240x240.
FLAIR MRI.
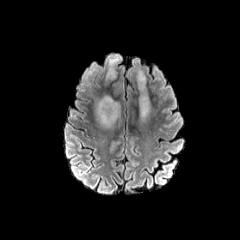
T1-weighted magnetic resonance.
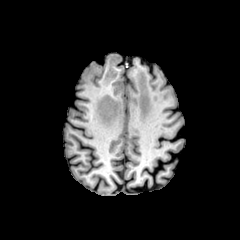
Post-contrast T1-weighted magnetic resonance.
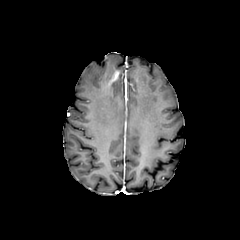
T2-weighted MR.
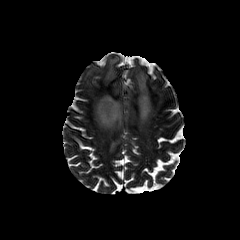
The enhancing tumor is bounded by box(111, 71, 118, 81). 3 peritumoral edema regions are bounded by box(96, 96, 120, 130); box(137, 69, 150, 120); box(106, 55, 120, 79).